Axial slice
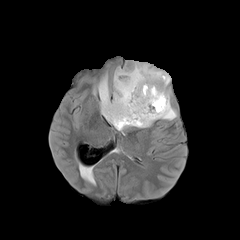
FLAIR MRI.
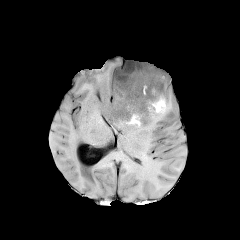
Same slice, T1-weighted MRI.
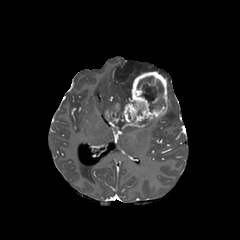
Post-contrast T1-weighted MRI of the same slice.
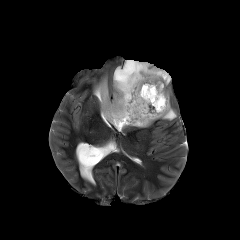
T2-weighted MR image.
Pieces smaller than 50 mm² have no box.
{
  "enhancing_tumor": [
    "rect(105, 71, 168, 130)"
  ],
  "necrotic_tumor_core": [
    "rect(137, 76, 164, 111)"
  ],
  "peritumoral_edema": [
    "rect(158, 87, 177, 120)",
    "rect(93, 61, 170, 117)"
  ]
}